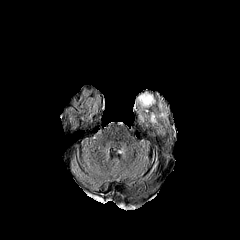
FLAIR MRI.
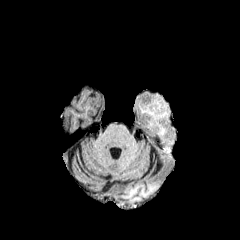
T1-weighted MR image.
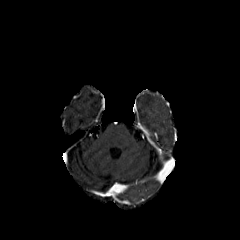
Same slice, post-contrast T1-weighted magnetic resonance.
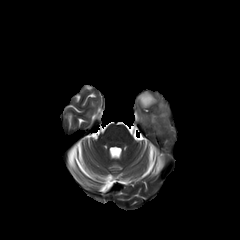
T2-weighted MRI.
Head
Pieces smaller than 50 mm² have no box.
peritumoral edema = bbox=[138, 93, 155, 107]